Brain | Axial slice
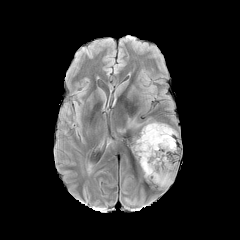
FLAIR MR image.
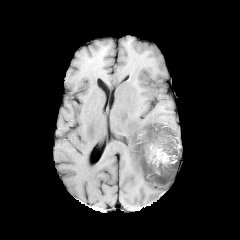
T1-weighted MR image.
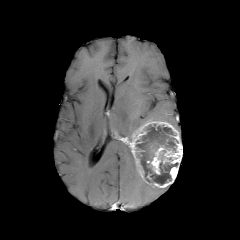
Same slice, post-contrast T1-weighted MR.
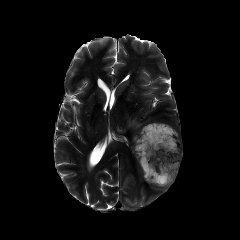
T2-weighted MRI.
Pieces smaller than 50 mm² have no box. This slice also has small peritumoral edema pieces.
enhancing tumor: <bbox>128, 120, 182, 188</bbox>
necrotic tumor core: <bbox>136, 124, 177, 184</bbox>